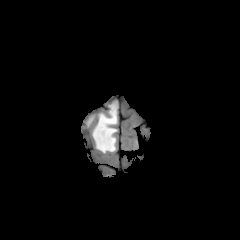
FLAIR MR.
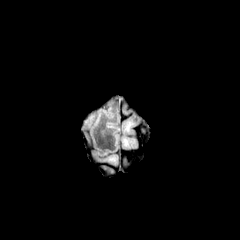
T1-weighted magnetic resonance of the same slice.
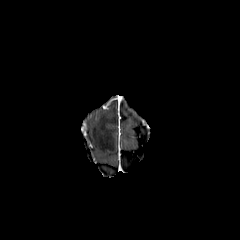
Same slice, post-contrast T1-weighted MR image.
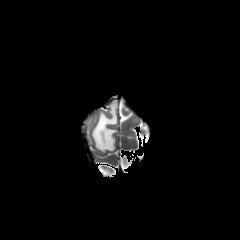
T2-weighted MRI.
Head. 240x240 px. Axial slice.
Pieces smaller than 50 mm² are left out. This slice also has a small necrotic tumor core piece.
peritumoral edema: bounding box region(92, 101, 117, 153)